FLAIR MR.
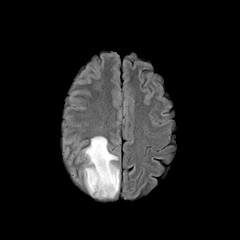
T1-weighted MRI.
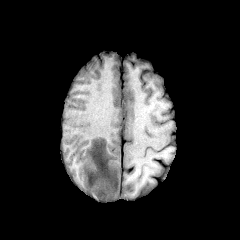
Post-contrast T1-weighted MR image.
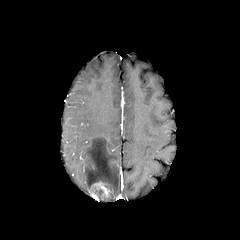
T2-weighted MRI.
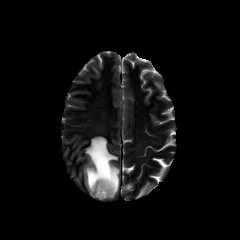
Axial view, Head
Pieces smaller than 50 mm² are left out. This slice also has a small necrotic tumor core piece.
peritumoral edema = [84,136,119,198]
enhancing tumor = [88,181,113,199]